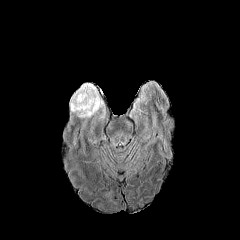
FLAIR magnetic resonance.
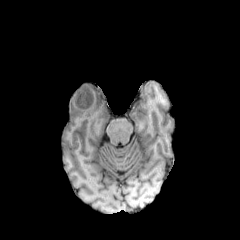
Same slice, T1-weighted MRI.
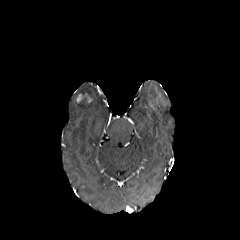
Post-contrast T1-weighted MR image.
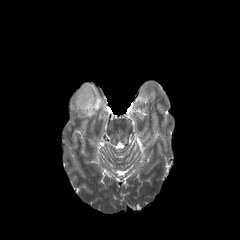
T2-weighted MR.
240x240 px, Axial view
Segmented structures:
- enhancing tumor: box=[76, 92, 92, 104]
- peritumoral edema: box=[69, 83, 107, 116]